FLAIR magnetic resonance.
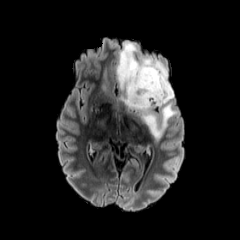
T1-weighted MR image.
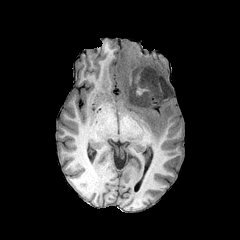
Post-contrast T1-weighted magnetic resonance.
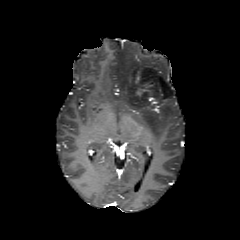
T2-weighted MR.
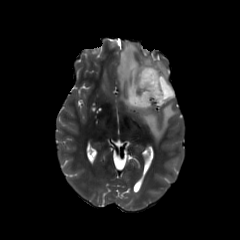
Axial view | Head
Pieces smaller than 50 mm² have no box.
peritumoral edema: {"x1": 102, "y1": 70, "x2": 107, "y2": 89}, {"x1": 116, "y1": 41, "x2": 176, "y2": 139}
enhancing tumor: {"x1": 133, "y1": 70, "x2": 168, "y2": 107}